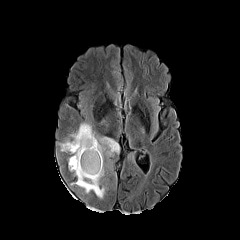
FLAIR MR image.
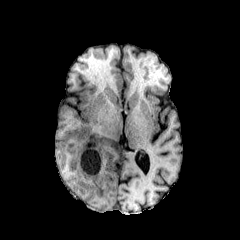
T1-weighted magnetic resonance of the same slice.
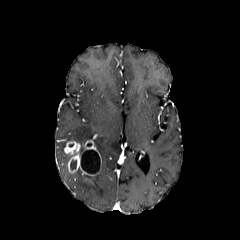
Post-contrast T1-weighted magnetic resonance.
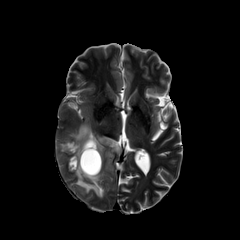
T2-weighted MR image of the same slice.
Axial slice
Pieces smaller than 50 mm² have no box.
The 2 largest peritumoral edema regions appear at region(71, 123, 93, 149); region(71, 136, 119, 198). 2 enhancing tumor regions are located at region(82, 137, 101, 166); region(64, 141, 99, 176). The 2 largest necrotic tumor core regions appear at region(80, 147, 100, 173); region(70, 160, 76, 169).